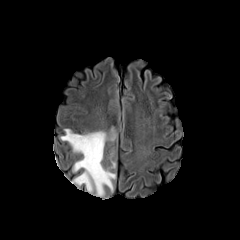
FLAIR MR.
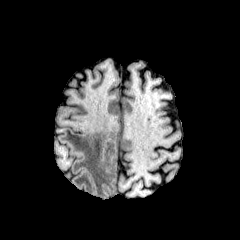
T1-weighted MR image of the same slice.
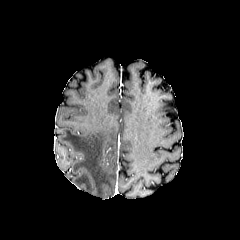
Post-contrast T1-weighted MRI.
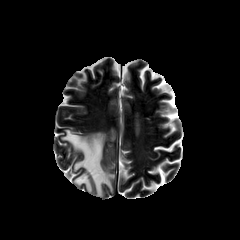
Same slice, T2-weighted magnetic resonance.
Head.
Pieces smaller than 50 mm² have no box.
<segmentation>
  <peritumoral_edema>rect(61, 129, 115, 196)</peritumoral_edema>
</segmentation>